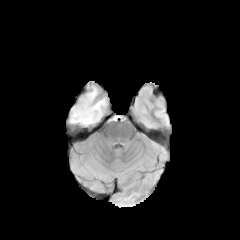
FLAIR MR image.
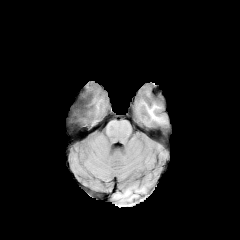
T1-weighted MRI.
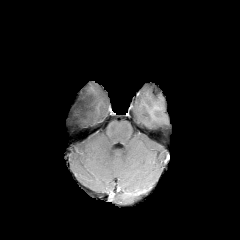
Same slice, post-contrast T1-weighted MR.
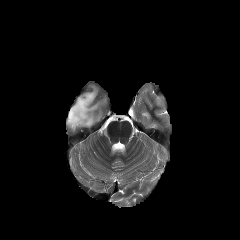
T2-weighted magnetic resonance.
Brain
peritumoral edema: (66, 82, 109, 132)